Slice 108 of 155, Brain
FLAIR magnetic resonance.
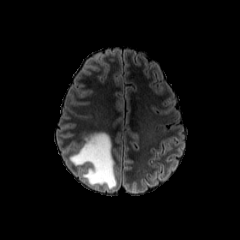
T1-weighted MR image.
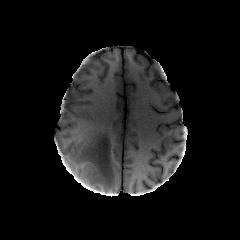
Post-contrast T1-weighted MRI.
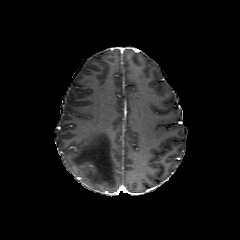
T2-weighted MRI.
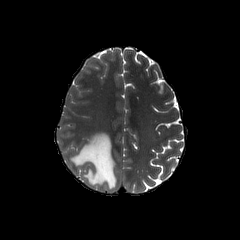
peritumoral edema = (x1=70, y1=132, x2=116, y2=189)